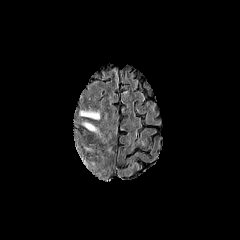
FLAIR MRI.
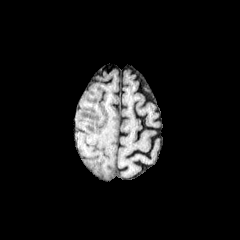
T1-weighted MR of the same slice.
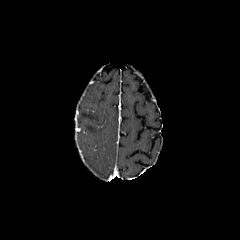
Post-contrast T1-weighted magnetic resonance.
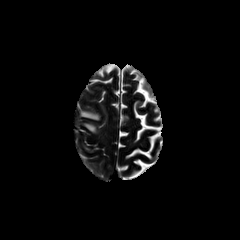
Same slice, T2-weighted MRI.
Image size 240x240; Head; Axial plane
Annotated regions:
• peritumoral edema: [80,111,99,119], [83,123,97,132]